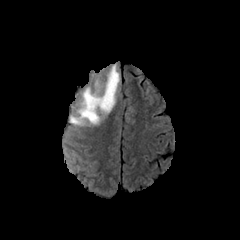
FLAIR MR.
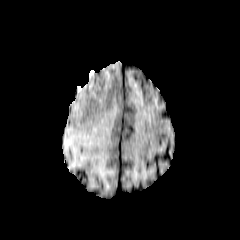
Same slice, T1-weighted MR.
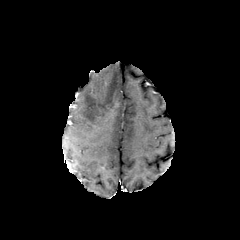
Post-contrast T1-weighted MRI.
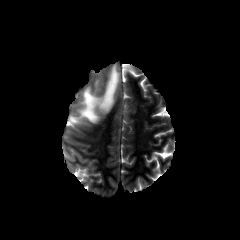
T2-weighted MR image.
Brain, 240x240
The peritumoral edema is bounded by box(71, 65, 120, 123).